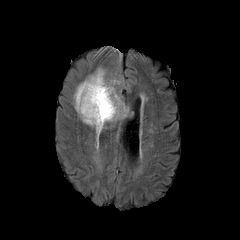
FLAIR MR.
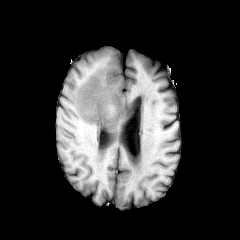
T1-weighted magnetic resonance.
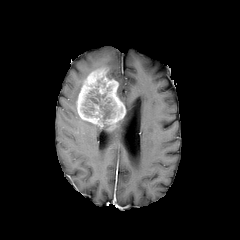
Post-contrast T1-weighted MR.
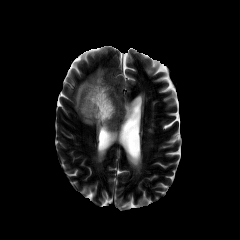
Same slice, T2-weighted magnetic resonance.
Image size 240x240 | Head
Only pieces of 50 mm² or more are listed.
The 2 largest peritumoral edema regions are bounded by (73, 82, 83, 110), (82, 120, 101, 130). The largest necrotic tumor core region is bounded by (87, 93, 112, 119). The enhancing tumor lies within (76, 68, 126, 129).